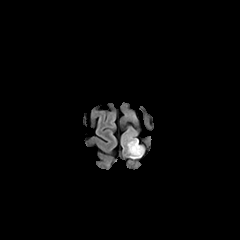
FLAIR MR image.
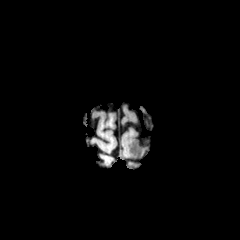
Same slice, T1-weighted MR image.
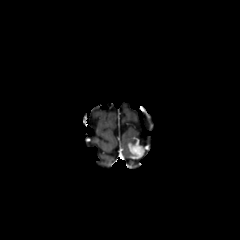
Post-contrast T1-weighted MR.
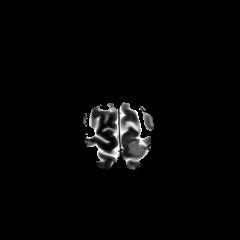
Same slice, T2-weighted MR image.
Head.
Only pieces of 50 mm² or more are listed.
Segmented structures:
- enhancing tumor: left=128, top=139, right=144, bottom=158
- peritumoral edema: left=122, top=128, right=136, bottom=154